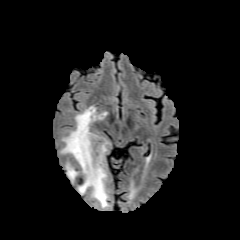
FLAIR MRI.
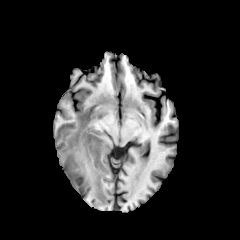
T1-weighted MR.
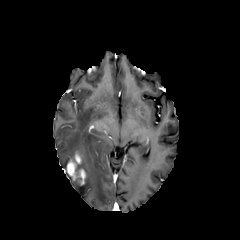
Post-contrast T1-weighted MR.
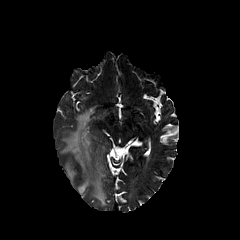
Same slice, T2-weighted magnetic resonance.
240x240
Annotated regions:
* peritumoral edema: (left=60, top=107, right=108, bottom=207)
* enhancing tumor: (left=66, top=150, right=87, bottom=186)